FLAIR MR image.
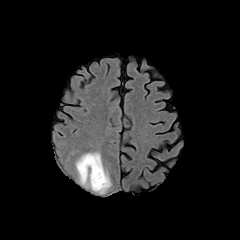
T1-weighted magnetic resonance.
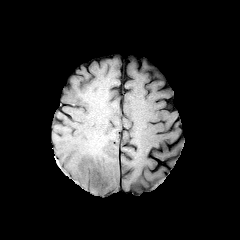
Post-contrast T1-weighted magnetic resonance.
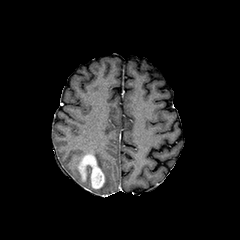
T2-weighted magnetic resonance.
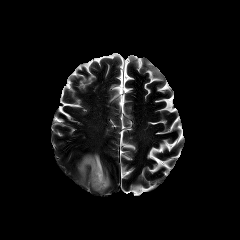
Image size 240x240. Axial slice. Brain.
enhancing tumor: bounding box box(78, 154, 104, 188)
peritumoral edema: bounding box box(76, 152, 111, 193)